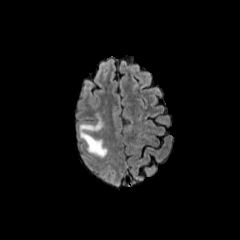
FLAIR MR image.
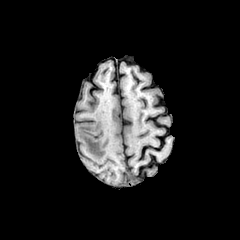
T1-weighted MRI.
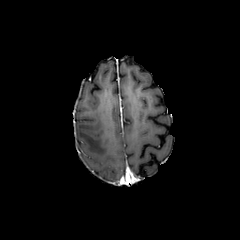
Post-contrast T1-weighted MR image.
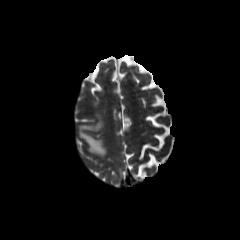
T2-weighted MR.
240x240. Brain.
peritumoral edema: (78, 112, 107, 158)